Axial view
FLAIR MR.
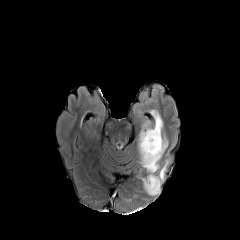
T1-weighted MR.
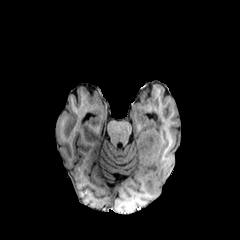
Post-contrast T1-weighted MRI.
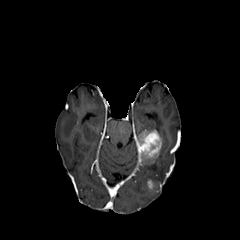
T2-weighted MRI.
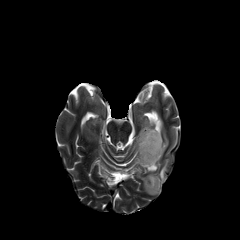
3 peritumoral edema regions are bounded by left=142, top=139, right=166, bottom=171; left=143, top=161, right=167, bottom=194; left=146, top=112, right=162, bottom=137. 2 enhancing tumor regions appear at left=147, top=179, right=157, bottom=192; left=138, top=129, right=161, bottom=163.